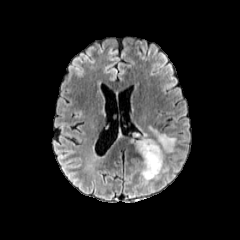
FLAIR MR image.
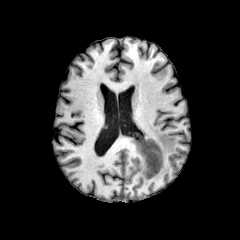
T1-weighted MR of the same slice.
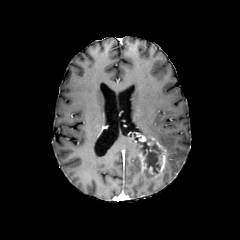
Post-contrast T1-weighted magnetic resonance of the same slice.
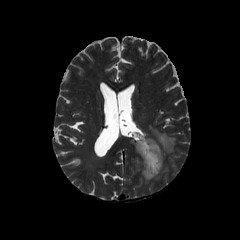
T2-weighted MR.
Axial slice. 240x240.
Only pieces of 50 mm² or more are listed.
<segmentation>
  <necrotic_tumor_core>(140, 142, 162, 176)</necrotic_tumor_core>
  <peritumoral_edema>(149, 126, 176, 153)</peritumoral_edema>
  <enhancing_tumor>(137, 135, 167, 178)</enhancing_tumor>
</segmentation>